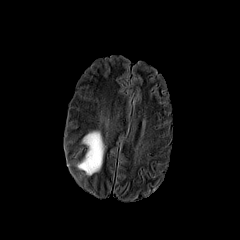
FLAIR magnetic resonance.
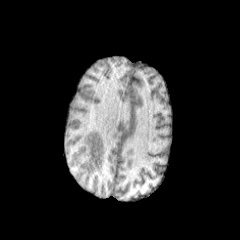
T1-weighted magnetic resonance.
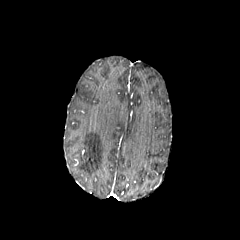
Same slice, post-contrast T1-weighted MRI.
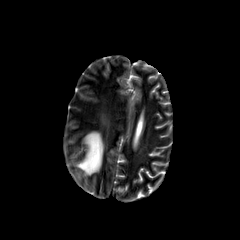
Same slice, T2-weighted MRI.
Axial plane | 240x240 px | Head
<segmentation>
  <peritumoral_edema>[77,130,105,175]</peritumoral_edema>
</segmentation>